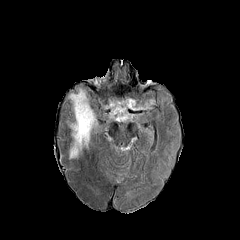
FLAIR MR image.
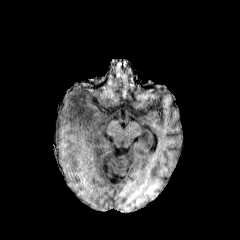
T1-weighted MR image of the same slice.
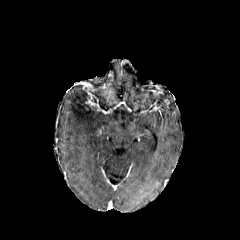
Same slice, post-contrast T1-weighted MR.
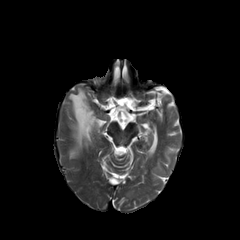
T2-weighted MR image of the same slice.
Axial slice.
{
  "peritumoral_edema": [
    "(x1=70, y1=147, x2=77, y2=158)",
    "(x1=69, y1=89, x2=97, y2=146)"
  ]
}